Slice index 108.
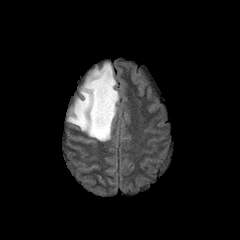
FLAIR MR.
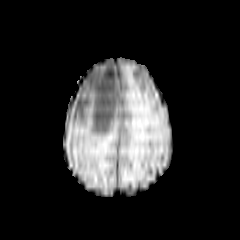
Same slice, T1-weighted MR.
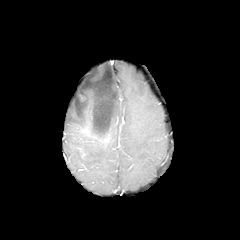
Post-contrast T1-weighted MR image of the same slice.
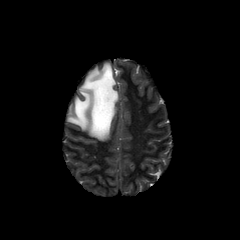
T2-weighted MR.
The peritumoral edema is at box=[67, 62, 119, 141].